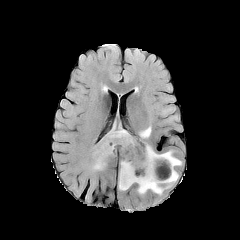
FLAIR magnetic resonance.
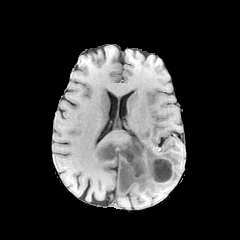
T1-weighted MR image.
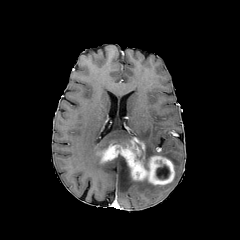
Post-contrast T1-weighted MR.
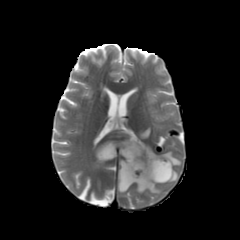
Same slice, T2-weighted MR image.
Brain | Axial view | 240x240
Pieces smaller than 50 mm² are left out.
enhancing tumor: x1=97, y1=137, x2=174, y2=184
necrotic tumor core: x1=156, y1=164, x2=169, y2=179
peritumoral edema: x1=139, y1=126, x2=151, y2=139; x1=118, y1=160, x2=178, y2=194; x1=93, y1=128, x2=132, y2=169; x1=145, y1=144, x2=181, y2=166